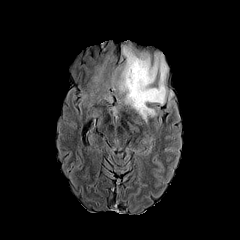
FLAIR magnetic resonance.
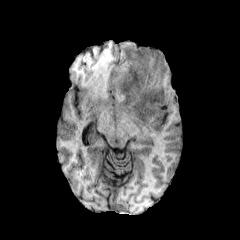
T1-weighted MR image.
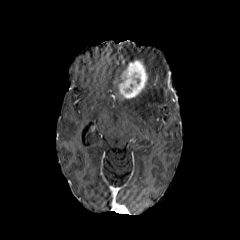
Same slice, post-contrast T1-weighted MR image.
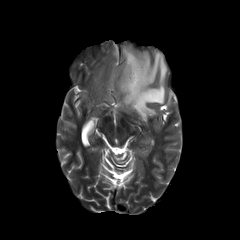
Same slice, T2-weighted MR.
240x240 px
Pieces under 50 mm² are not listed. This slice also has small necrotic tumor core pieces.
- enhancing tumor: (118,59,147,98)
- peritumoral edema: (91,64,104,87), (117,44,174,123)